FLAIR MR image.
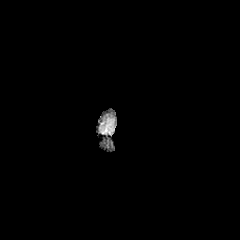
T1-weighted MR image.
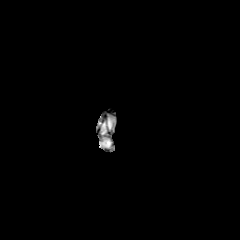
Post-contrast T1-weighted MR image.
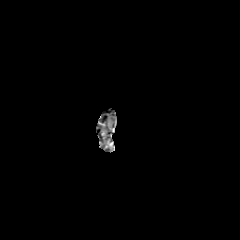
T2-weighted MR image.
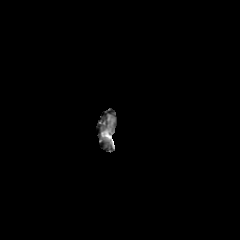
Head
peritumoral edema: bounding box bbox=[101, 118, 113, 133]